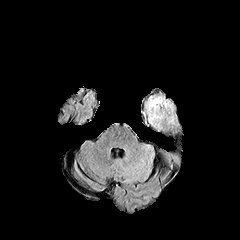
FLAIR MRI.
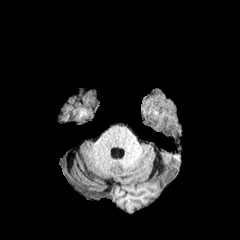
T1-weighted MRI.
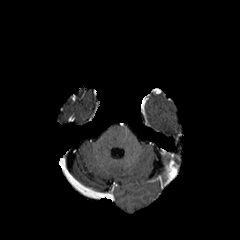
Post-contrast T1-weighted MR image of the same slice.
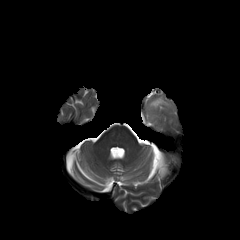
T2-weighted magnetic resonance.
Brain
<segmentation>
  <peritumoral_edema>[147, 97, 171, 119]</peritumoral_edema>
</segmentation>